Head | Slice 121/155
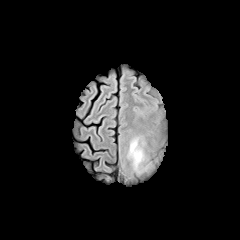
FLAIR magnetic resonance.
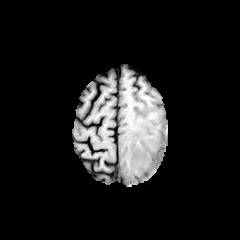
T1-weighted magnetic resonance of the same slice.
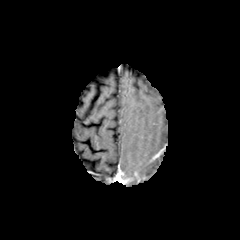
Same slice, post-contrast T1-weighted magnetic resonance.
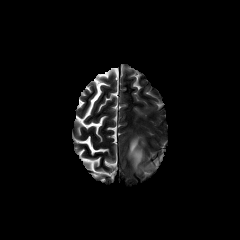
T2-weighted MRI.
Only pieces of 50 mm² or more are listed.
{
  "peritumoral_edema": [
    "(128, 137, 144, 172)"
  ]
}